FLAIR MR image.
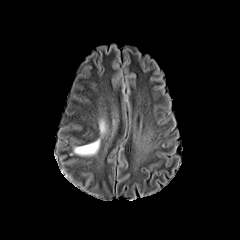
T1-weighted MRI.
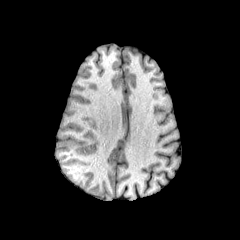
Post-contrast T1-weighted MR.
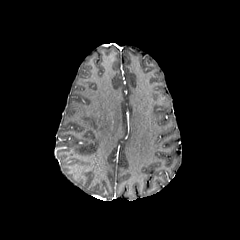
T2-weighted MRI.
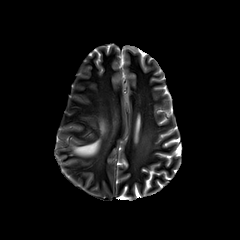
Head | Image size 240x240
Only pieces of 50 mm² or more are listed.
The largest peritumoral edema region is bounded by l=74, t=140, r=99, b=155.